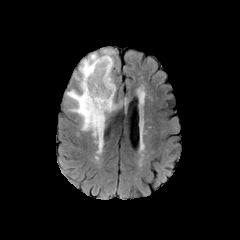
FLAIR MR.
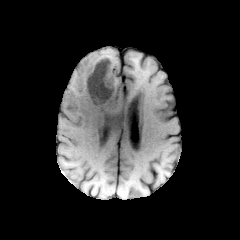
T1-weighted magnetic resonance of the same slice.
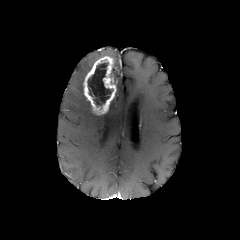
Post-contrast T1-weighted MR image of the same slice.
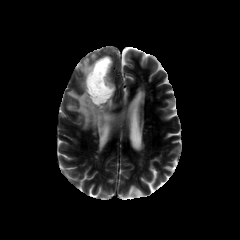
T2-weighted magnetic resonance.
Brain, 240x240
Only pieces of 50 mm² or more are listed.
<segmentation>
  <enhancing_tumor>bbox(83, 56, 116, 115)</enhancing_tumor>
  <peritumoral_edema>bbox(66, 49, 126, 152)</peritumoral_edema>
  <necrotic_tumor_core>bbox(88, 63, 111, 105)</necrotic_tumor_core>
</segmentation>